Head
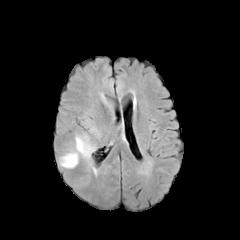
FLAIR MR image.
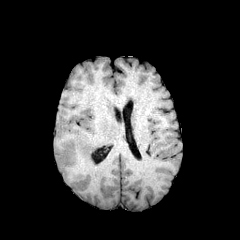
T1-weighted MRI of the same slice.
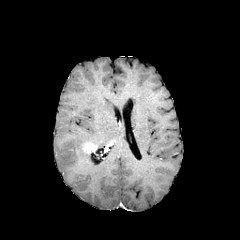
Post-contrast T1-weighted MR image.
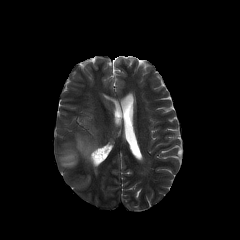
T2-weighted MR.
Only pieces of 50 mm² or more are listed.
peritumoral edema: (59, 135, 92, 167) | enhancing tumor: (82, 142, 96, 154)